Brain. Axial view. Image size 240x240.
FLAIR MRI.
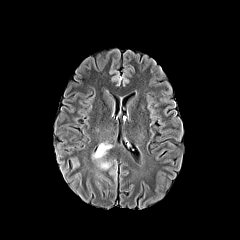
T1-weighted magnetic resonance.
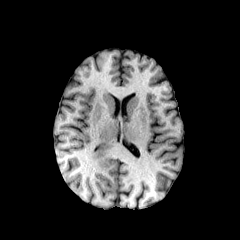
Post-contrast T1-weighted MR.
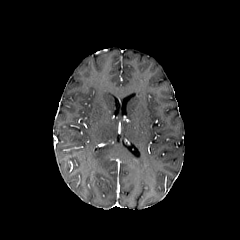
T2-weighted magnetic resonance.
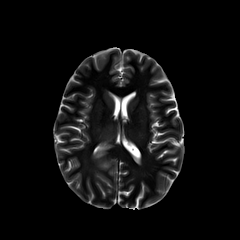
<segmentation>
  <peritumoral_edema>left=93, top=145, right=111, bottom=160; left=97, top=161, right=111, bottom=169</peritumoral_edema>
</segmentation>